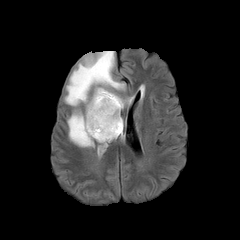
FLAIR MR.
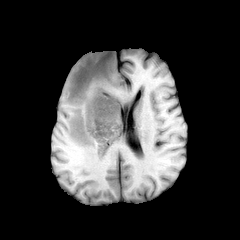
T1-weighted MRI.
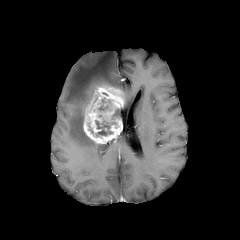
Post-contrast T1-weighted magnetic resonance.
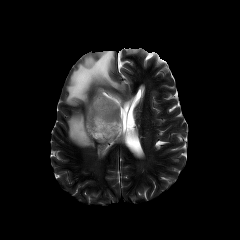
T2-weighted magnetic resonance.
Axial slice, Brain
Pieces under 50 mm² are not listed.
The enhancing tumor is located at [x1=83, y1=84, x2=125, y2=143]. The 2 largest peritumoral edema regions are bounded by [x1=65, y1=51, x2=125, y2=106], [x1=67, y1=111, x2=94, y2=147]. The 2 largest necrotic tumor core regions are located at [x1=98, y1=129, x2=112, y2=135], [x1=96, y1=121, x2=109, y2=128].